FLAIR magnetic resonance.
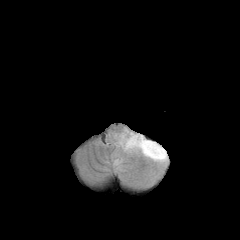
T1-weighted MR.
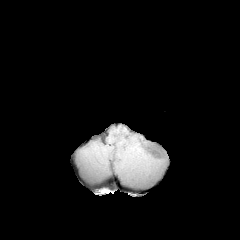
Post-contrast T1-weighted MR image.
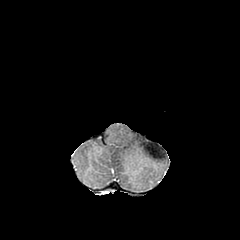
T2-weighted magnetic resonance.
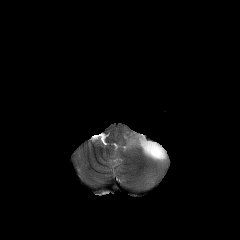
Axial slice, Head
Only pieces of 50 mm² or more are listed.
peritumoral_edema:
  - (left=106, top=128, right=168, bottom=185)